Image width 240 mm; Axial plane
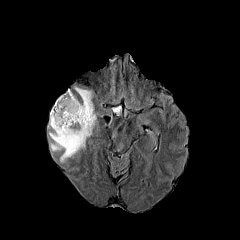
FLAIR MR image.
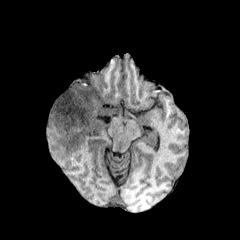
T1-weighted MR image of the same slice.
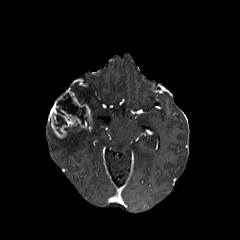
Same slice, post-contrast T1-weighted magnetic resonance.
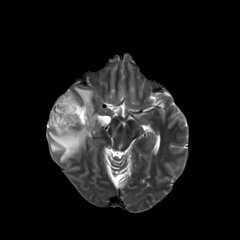
Same slice, T2-weighted magnetic resonance.
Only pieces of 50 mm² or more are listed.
necrotic tumor core: bounding box x1=56 y1=93 x2=86 y2=124, x1=55 y1=114 x2=66 y2=127
peritumoral edema: bounding box x1=74 y1=86 x2=96 y2=128, x1=48 y1=123 x2=91 y2=162
enhancing tumor: bounding box x1=48 y1=89 x2=92 y2=138